Brain | Axial slice | 240x240
FLAIR MR.
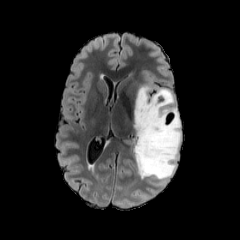
T1-weighted MRI.
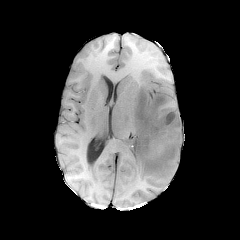
Post-contrast T1-weighted MRI.
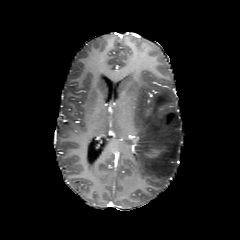
T2-weighted MR.
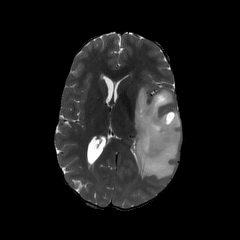
peritumoral_edema:
  - l=134, t=85, r=181, b=179
enhancing_tumor:
  - l=145, t=147, r=165, b=157